FLAIR MR image.
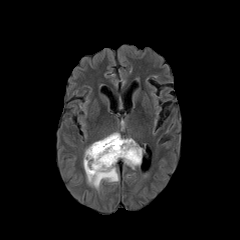
T1-weighted magnetic resonance.
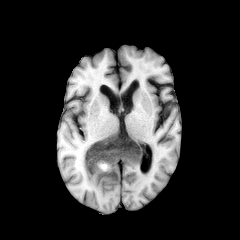
Post-contrast T1-weighted MRI.
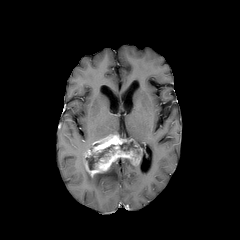
T2-weighted MRI.
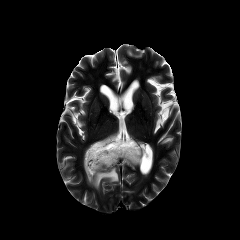
240x240.
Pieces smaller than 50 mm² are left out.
necrotic tumor core: bounding box rect(85, 145, 114, 169); rect(120, 141, 136, 150)
enhancing tumor: bounding box rect(83, 133, 143, 177)
peritumoral edema: bounding box rect(123, 159, 136, 169); rect(83, 159, 119, 190)